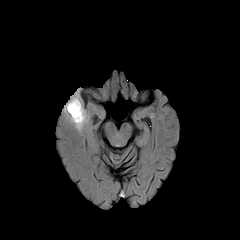
FLAIR MR.
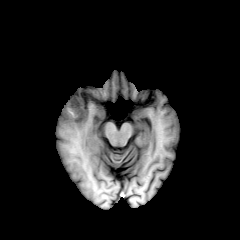
T1-weighted MR image.
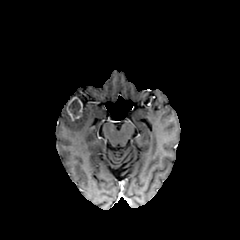
Post-contrast T1-weighted MR image of the same slice.
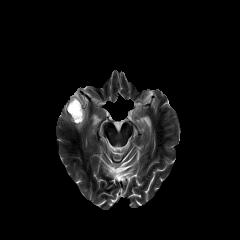
T2-weighted MR.
Axial plane; Head
{"necrotic_tumor_core": ["(69, 99, 80, 116)"], "peritumoral_edema": ["(70, 89, 82, 102)", "(63, 103, 88, 130)"], "enhancing_tumor": ["(67, 96, 82, 120)"]}